FLAIR magnetic resonance.
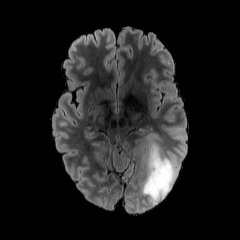
T1-weighted magnetic resonance.
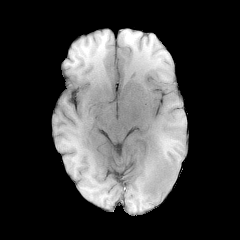
Post-contrast T1-weighted MR image.
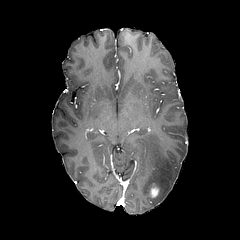
T2-weighted MRI.
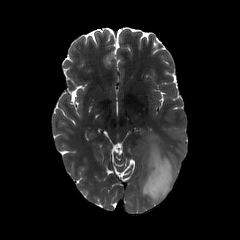
Axial slice.
{"peritumoral_edema": ["bbox=[141, 133, 177, 205]"], "enhancing_tumor": ["bbox=[149, 186, 159, 198]"]}